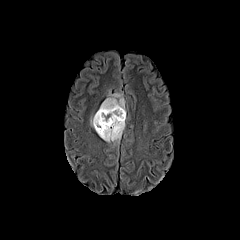
FLAIR magnetic resonance.
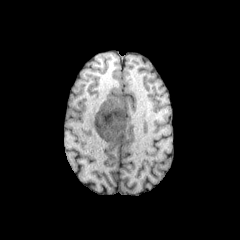
T1-weighted MR of the same slice.
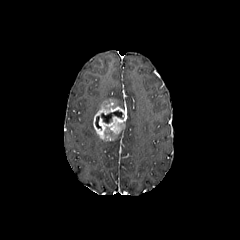
Post-contrast T1-weighted MRI of the same slice.
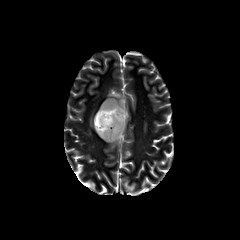
T2-weighted magnetic resonance.
Axial view
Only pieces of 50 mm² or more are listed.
necrotic_tumor_core:
  - 101, 110, 123, 123
enhancing_tumor:
  - 93, 98, 127, 141
peritumoral_edema:
  - 106, 91, 124, 109
  - 112, 130, 123, 143